FLAIR magnetic resonance.
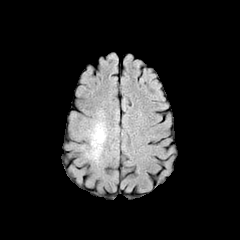
T1-weighted MRI.
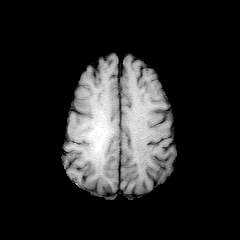
Post-contrast T1-weighted MRI.
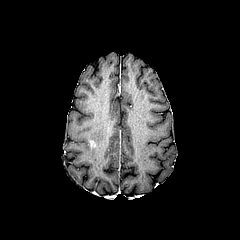
T2-weighted MRI.
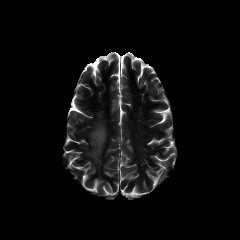
Brain
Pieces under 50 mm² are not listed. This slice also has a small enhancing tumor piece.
The peritumoral edema lies within (80,107,108,165).